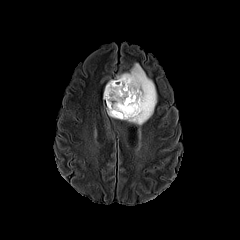
FLAIR magnetic resonance.
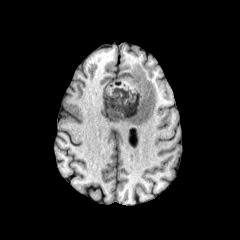
T1-weighted MR of the same slice.
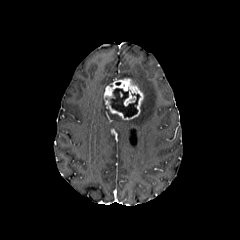
Same slice, post-contrast T1-weighted magnetic resonance.
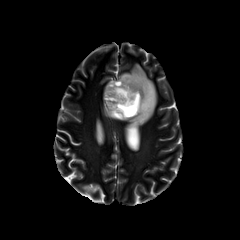
T2-weighted MR image of the same slice.
Brain. Axial slice.
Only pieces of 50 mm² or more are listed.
peritumoral_edema:
  - 116 63 156 125
enhancing_tumor:
  - 104 78 143 119
necrotic_tumor_core:
  - 109 88 139 117